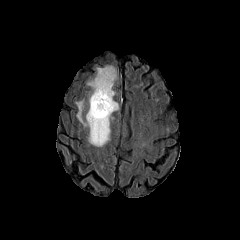
FLAIR magnetic resonance.
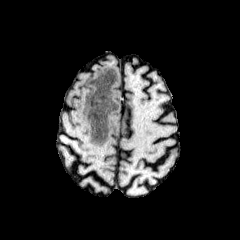
T1-weighted magnetic resonance of the same slice.
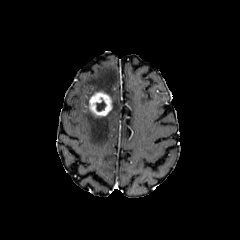
Post-contrast T1-weighted MRI.
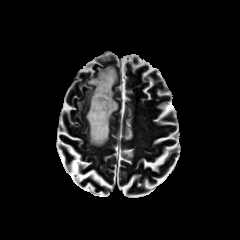
T2-weighted MR image.
Axial slice
Segmented structures:
- peritumoral edema: 76:65:118:146
- necrotic tumor core: 96:101:105:111
- enhancing tumor: 88:91:112:117